FLAIR MR image.
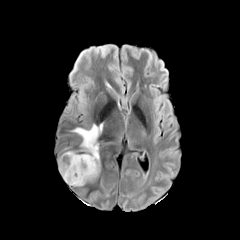
T1-weighted MR image.
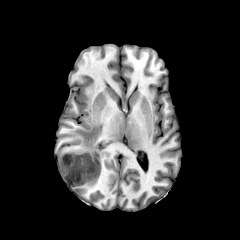
Post-contrast T1-weighted MRI.
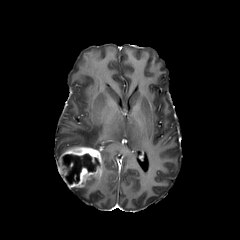
T2-weighted MRI.
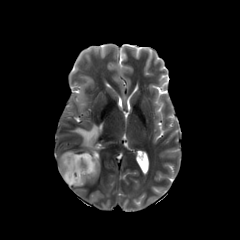
Head | Image size 240x240
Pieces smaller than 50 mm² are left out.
necrotic tumor core: 62, 154, 99, 184 | peritumoral edema: 72, 123, 103, 150 | enhancing tumor: 58, 146, 101, 188